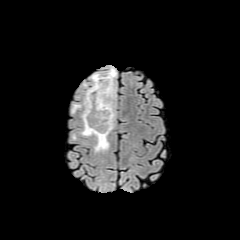
FLAIR MRI.
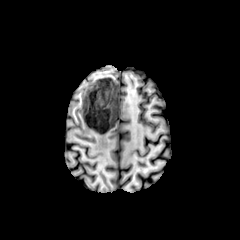
T1-weighted MR image.
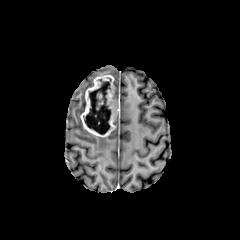
Post-contrast T1-weighted MRI of the same slice.
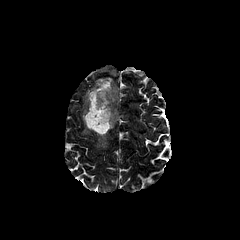
T2-weighted MR image.
Axial plane; Brain
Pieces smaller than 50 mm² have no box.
peritumoral edema at [80, 127, 94, 136], [105, 67, 117, 96], [71, 104, 81, 112], [94, 136, 109, 151]
necrotic tumor core at [84, 78, 111, 134]
enhancing tumor at [80, 75, 119, 137]